Slice index 95 | Brain | Axial slice | Image width 240 mm, 1.00 mm slice spacing
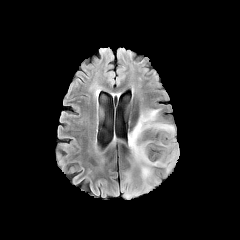
FLAIR MR image.
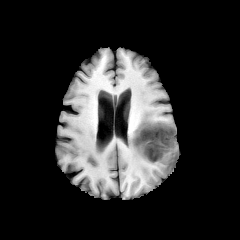
T1-weighted MRI.
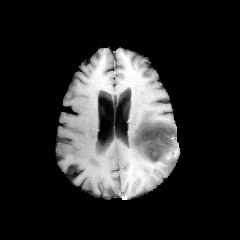
Post-contrast T1-weighted MR image.
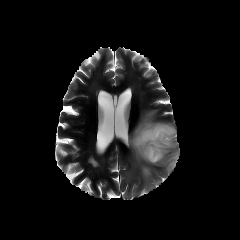
T2-weighted MR image.
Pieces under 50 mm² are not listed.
enhancing tumor at (x1=135, y1=123, x2=178, y2=162)
necrotic tumor core at (x1=136, y1=125, x2=174, y2=161)
peritumoral edema at (x1=128, y1=109, x2=178, y2=190)